Slice 95/155. Brain. Axial plane. Image width 240 mm, 1.00 mm slice spacing.
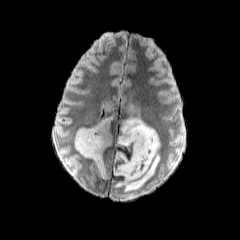
FLAIR MR image.
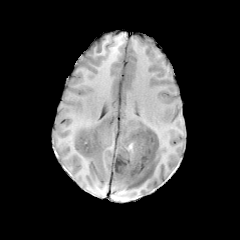
Same slice, T1-weighted MR image.
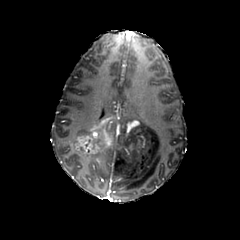
Post-contrast T1-weighted magnetic resonance.
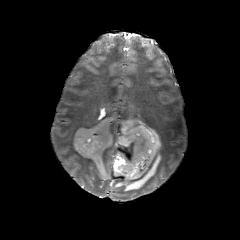
T2-weighted MRI.
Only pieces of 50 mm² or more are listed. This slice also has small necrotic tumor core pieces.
• peritumoral edema: (114, 100, 160, 191), (75, 127, 90, 137), (92, 151, 106, 178), (103, 101, 119, 118)
• enhancing tumor: (74, 113, 139, 158)